FLAIR MRI.
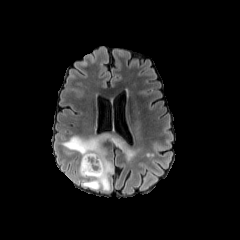
T1-weighted magnetic resonance.
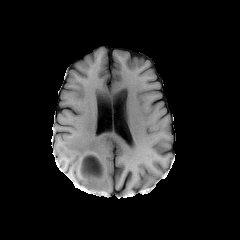
Post-contrast T1-weighted MR.
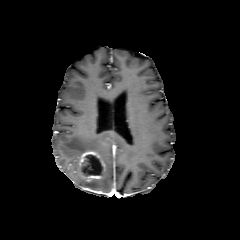
T2-weighted magnetic resonance.
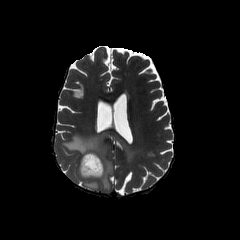
Segmented structures:
• enhancing tumor: bbox=[80, 151, 104, 179]
• peritumoral edema: bbox=[62, 132, 139, 190]
• necrotic tumor core: bbox=[82, 154, 102, 175]